FLAIR magnetic resonance.
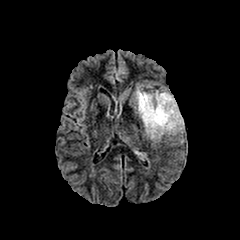
T1-weighted MR image.
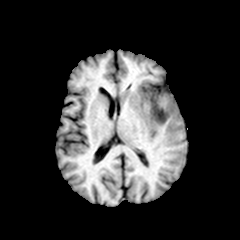
Post-contrast T1-weighted MR.
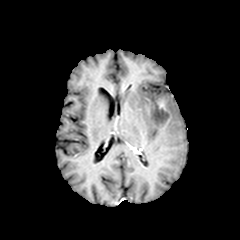
T2-weighted MR image.
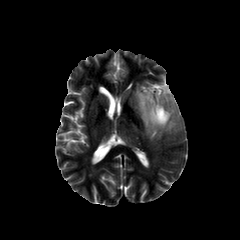
Axial slice
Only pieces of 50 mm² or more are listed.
necrotic tumor core — x1=155, y1=109, x2=167, y2=123
peritumoral edema — x1=135, y1=87, x2=183, y2=139
enhancing tumor — x1=151, y1=102, x2=169, y2=126